240x240
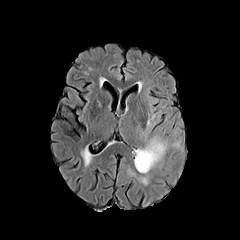
FLAIR MR image.
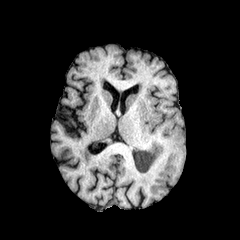
T1-weighted MR image.
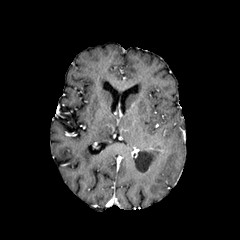
Post-contrast T1-weighted MR image of the same slice.
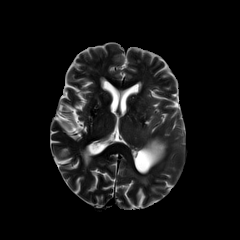
T2-weighted MRI.
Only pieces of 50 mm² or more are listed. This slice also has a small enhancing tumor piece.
The largest peritumoral edema region is bounded by l=134, t=137, r=166, b=173. The largest necrotic tumor core region is bounded by l=135, t=150, r=154, b=171.